FLAIR MRI.
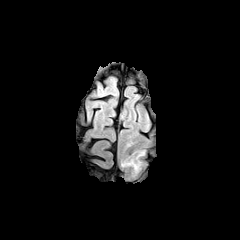
T1-weighted MRI.
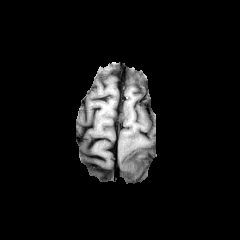
Post-contrast T1-weighted MRI.
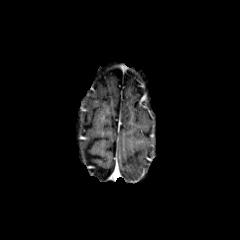
T2-weighted MRI.
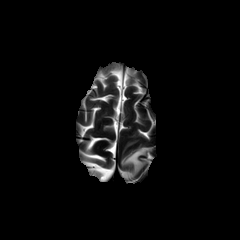
Brain
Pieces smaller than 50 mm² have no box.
Segmented structures:
- peritumoral edema: (x1=121, y1=149, x2=145, y2=176)